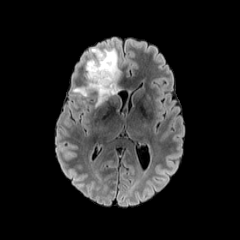
FLAIR magnetic resonance.
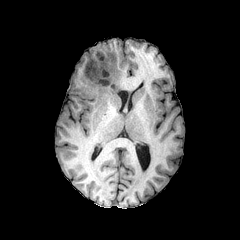
T1-weighted magnetic resonance of the same slice.
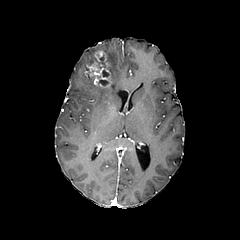
Same slice, post-contrast T1-weighted magnetic resonance.
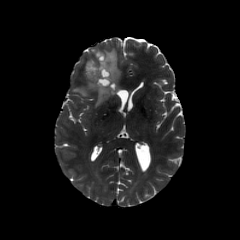
Same slice, T2-weighted magnetic resonance.
Image size 240x240. Axial plane.
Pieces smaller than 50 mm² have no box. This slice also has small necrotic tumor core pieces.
- peritumoral edema: 85, 57, 99, 70; 73, 48, 120, 106
- enhancing tumor: 85, 51, 111, 87